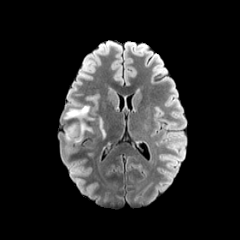
FLAIR MRI.
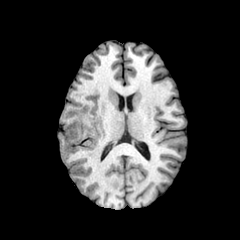
T1-weighted MRI.
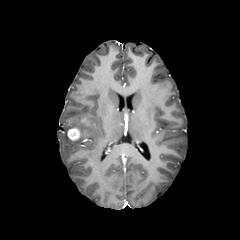
Post-contrast T1-weighted MR image.
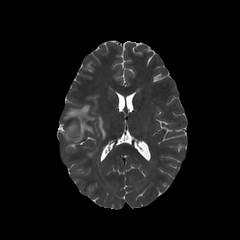
T2-weighted MRI.
Axial plane. Brain.
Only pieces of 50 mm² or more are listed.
<segmentation>
  <peritumoral_edema>left=64, top=105, right=95, bottom=142; left=98, top=116, right=107, bottom=140</peritumoral_edema>
  <enhancing_tumor>left=67, top=127, right=81, bottom=140</enhancing_tumor>
</segmentation>